Slice 51/155, Axial plane
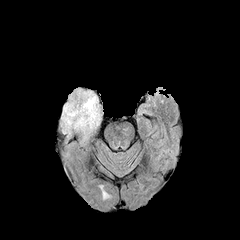
FLAIR MRI.
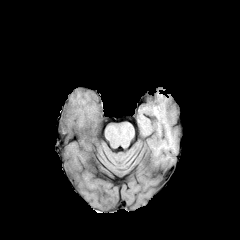
T1-weighted MR image.
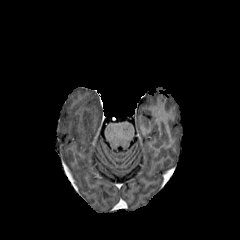
Post-contrast T1-weighted MR image.
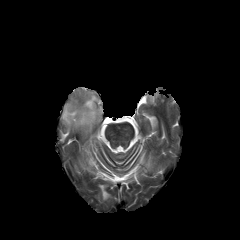
Same slice, T2-weighted MR image.
The peritumoral edema is located at (x1=60, y1=88, x2=101, y2=133).